FLAIR MR image.
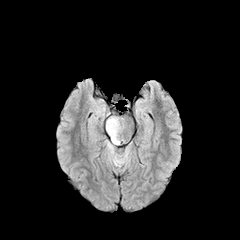
T1-weighted MR image.
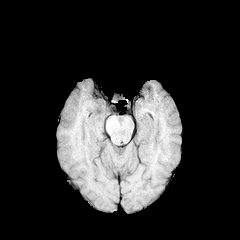
Post-contrast T1-weighted magnetic resonance.
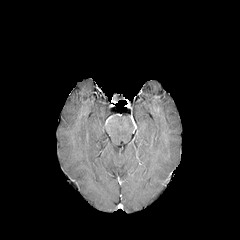
T2-weighted MR image.
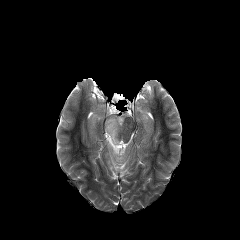
Axial view
Findings:
* peritumoral edema: (106,141,128,166), (106,117,120,144)